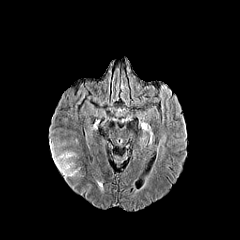
FLAIR MR.
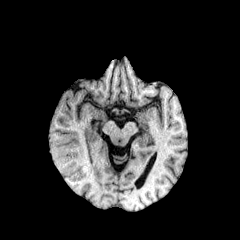
Same slice, T1-weighted MRI.
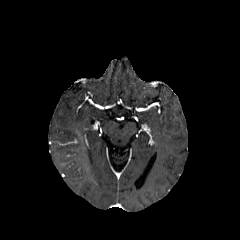
Post-contrast T1-weighted magnetic resonance of the same slice.
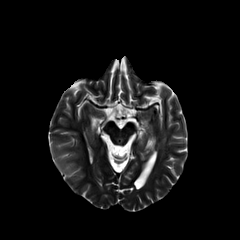
T2-weighted magnetic resonance.
240x240, Axial slice
peritumoral_edema:
  - left=50, top=144, right=78, bottom=176